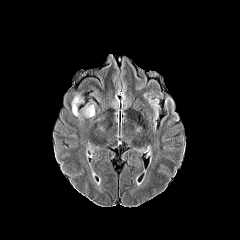
FLAIR MR.
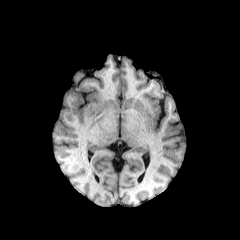
T1-weighted MR.
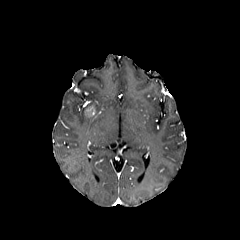
Post-contrast T1-weighted MR.
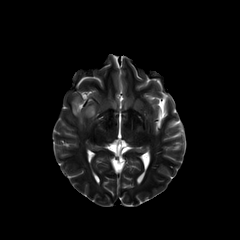
T2-weighted MR image.
Brain, Axial view
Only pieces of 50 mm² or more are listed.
- peritumoral edema: (72,95,82,116)
- enhancing tumor: (85,106,95,115)